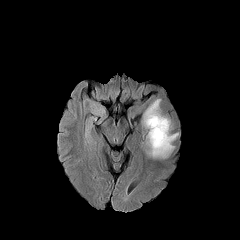
FLAIR MRI.
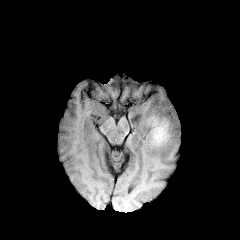
T1-weighted MRI.
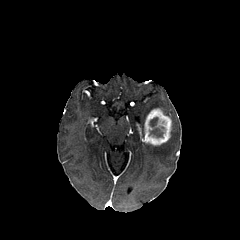
Post-contrast T1-weighted MR image.
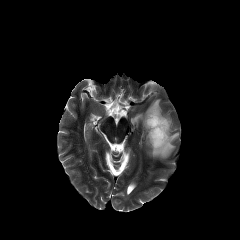
T2-weighted MRI.
Axial slice
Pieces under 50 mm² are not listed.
{
  "necrotic_tumor_core": [
    "box=[150, 117, 163, 137]"
  ],
  "enhancing_tumor": [
    "box=[143, 108, 171, 145]"
  ],
  "peritumoral_edema": [
    "box=[142, 99, 160, 127]",
    "box=[145, 133, 178, 158]"
  ]
}